FLAIR MRI.
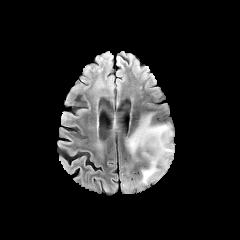
T1-weighted MR.
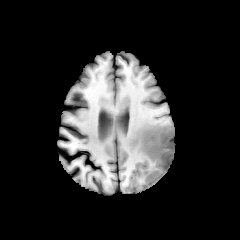
Post-contrast T1-weighted MRI.
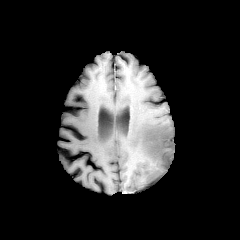
T2-weighted MRI.
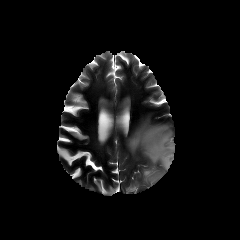
240x240 px, Brain
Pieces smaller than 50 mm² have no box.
<segmentation>
  <necrotic_tumor_core>(151, 135, 171, 165)</necrotic_tumor_core>
  <enhancing_tumor>(146, 132, 168, 159)</enhancing_tumor>
  <peritumoral_edema>(126, 114, 174, 184)</peritumoral_edema>
</segmentation>